FLAIR magnetic resonance.
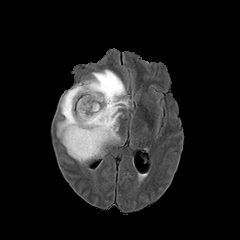
T1-weighted MRI.
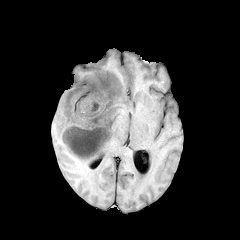
Post-contrast T1-weighted MRI.
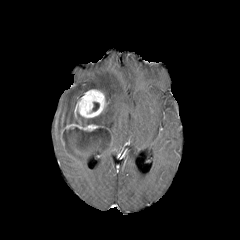
T2-weighted MR.
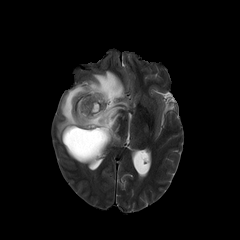
Head, Axial view
peritumoral edema: [x1=57, y1=70, x2=129, y2=157], [x1=64, y1=145, x2=97, y2=163]
necrotic tumor core: [x1=92, y1=102, x2=99, y2=111], [x1=73, y1=126, x2=109, y2=149]
enhancing tumor: [x1=62, y1=121, x2=102, y2=159], [x1=75, y1=89, x2=108, y2=118]